FLAIR MR.
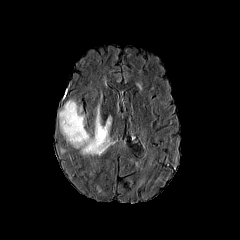
T1-weighted MRI.
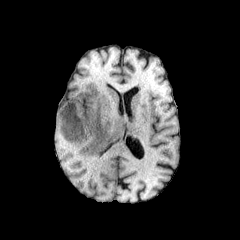
Post-contrast T1-weighted magnetic resonance.
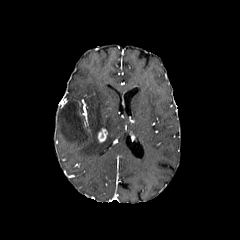
T2-weighted MRI.
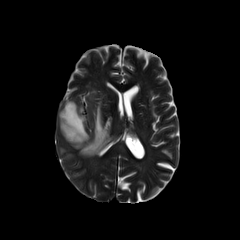
Axial plane, Image size 240x240
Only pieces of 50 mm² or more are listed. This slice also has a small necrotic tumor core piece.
The enhancing tumor appears at region(97, 128, 107, 142). The peritumoral edema is bounded by region(59, 95, 111, 156).